Axial view | Head
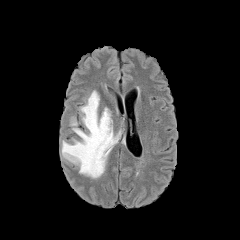
FLAIR MRI.
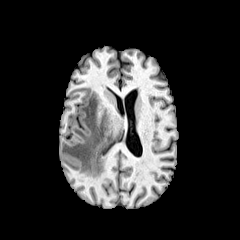
Same slice, T1-weighted MRI.
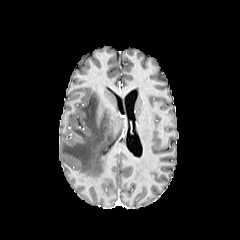
Same slice, post-contrast T1-weighted MRI.
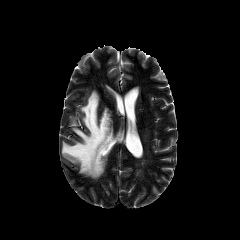
T2-weighted magnetic resonance of the same slice.
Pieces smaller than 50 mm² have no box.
peritumoral edema — [62, 91, 119, 178]